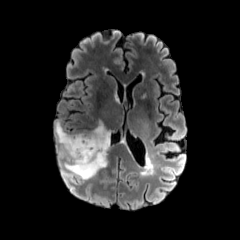
FLAIR MRI.
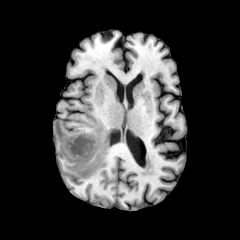
Same slice, T1-weighted MR image.
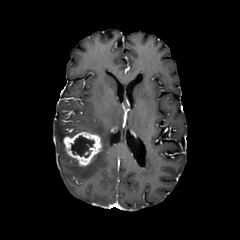
Post-contrast T1-weighted MRI.
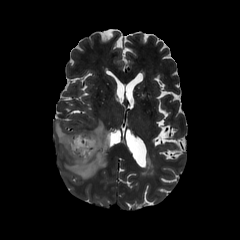
T2-weighted MR of the same slice.
Brain; Axial slice
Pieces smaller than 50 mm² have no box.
peritumoral_edema:
  - (x1=55, y1=120, x2=110, y2=179)
enhancing_tumor:
  - (x1=63, y1=132, x2=101, y2=166)
necrotic_tumor_core:
  - (x1=71, y1=135, x2=94, y2=157)